Axial slice, Brain, Slice 72/155
FLAIR MRI.
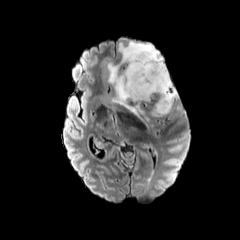
T1-weighted MRI.
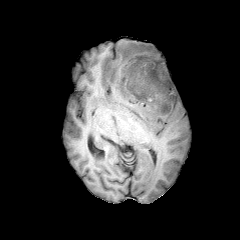
Post-contrast T1-weighted MR image.
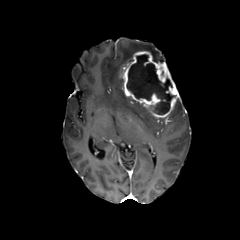
T2-weighted MR image.
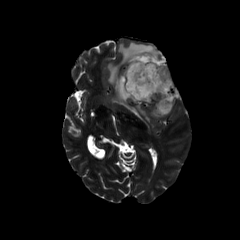
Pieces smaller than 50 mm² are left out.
The necrotic tumor core is located at 127:54:174:114. The largest peritumoral edema region lies within 107:41:164:125. The largest enhancing tumor region lies within 120:50:179:118.